FLAIR MR image.
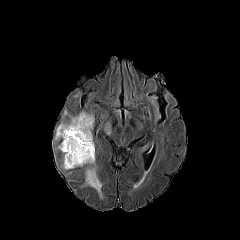
T1-weighted MR.
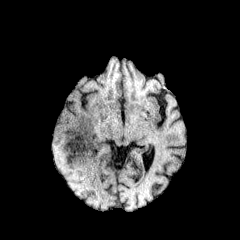
Post-contrast T1-weighted MR image.
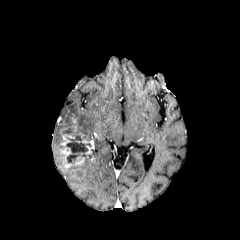
T2-weighted MR.
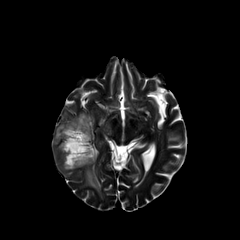
240x240 px; Axial plane
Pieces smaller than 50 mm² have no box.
enhancing tumor: (61, 128, 94, 167) | peritumoral edema: (62, 154, 102, 198), (55, 112, 94, 140) | necrotic tumor core: (66, 132, 90, 163)